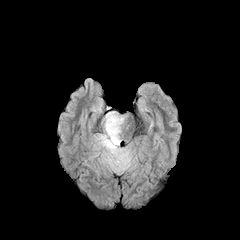
FLAIR magnetic resonance.
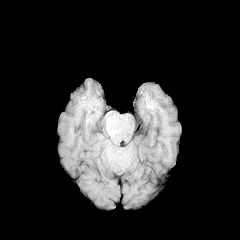
T1-weighted MRI.
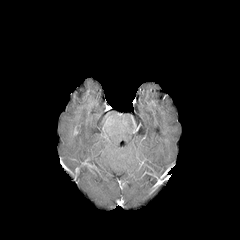
Post-contrast T1-weighted magnetic resonance.
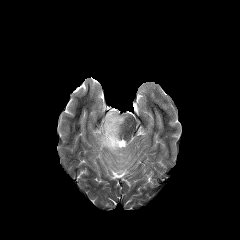
T2-weighted magnetic resonance.
Axial view
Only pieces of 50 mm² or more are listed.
The largest peritumoral edema region is located at region(94, 111, 132, 172).